Axial view | Brain
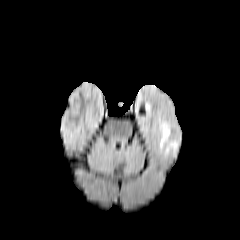
FLAIR MR.
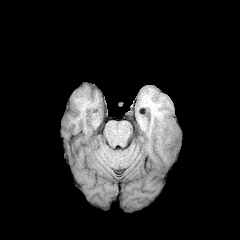
T1-weighted MR.
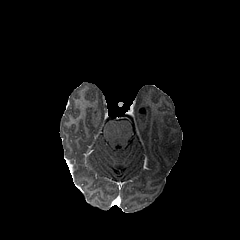
Post-contrast T1-weighted MR.
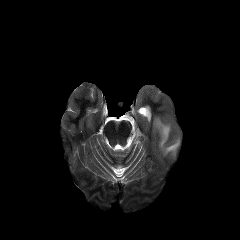
Same slice, T2-weighted MR image.
The peritumoral edema appears at 156:117:179:155.